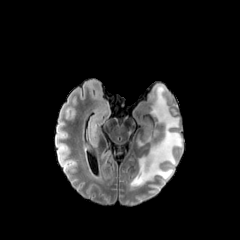
FLAIR MR image.
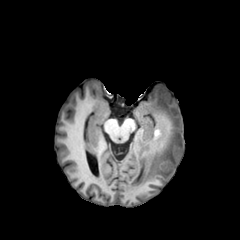
T1-weighted MR.
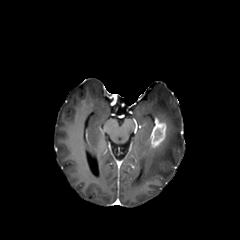
Post-contrast T1-weighted MR of the same slice.
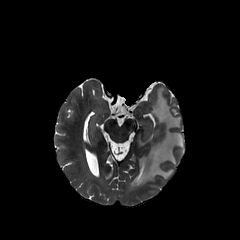
T2-weighted MR.
Image size 240x240
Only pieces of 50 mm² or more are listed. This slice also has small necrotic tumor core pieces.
peritumoral edema: bounding box {"x1": 130, "y1": 85, "x2": 183, "y2": 186}, {"x1": 137, "y1": 128, "x2": 151, "y2": 147}
enhancing tumor: bounding box {"x1": 149, "y1": 118, "x2": 168, "y2": 148}